Axial slice
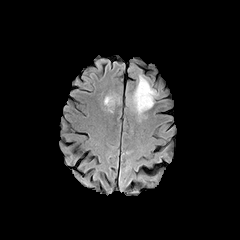
FLAIR MRI.
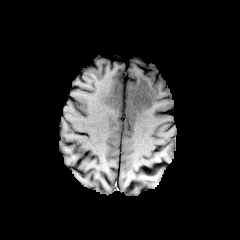
T1-weighted MR.
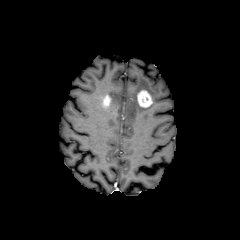
Same slice, post-contrast T1-weighted MRI.
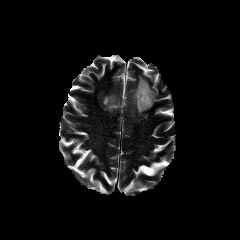
T2-weighted MRI of the same slice.
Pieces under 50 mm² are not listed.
enhancing tumor: 137:89:152:107, 102:95:112:108 | peritumoral edema: 105:94:119:112, 128:75:158:117